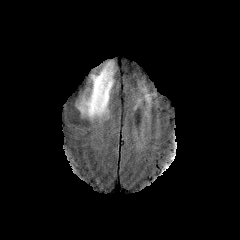
FLAIR MRI.
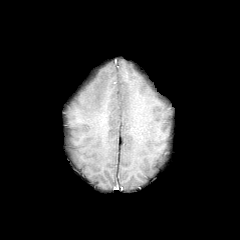
Same slice, T1-weighted MRI.
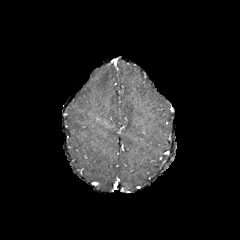
Post-contrast T1-weighted MRI.
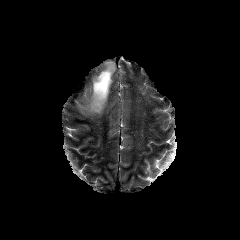
T2-weighted MR of the same slice.
peritumoral edema — l=79, t=63, r=114, b=117